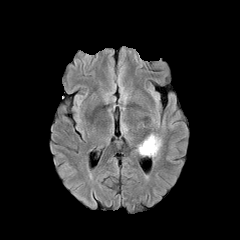
FLAIR magnetic resonance.
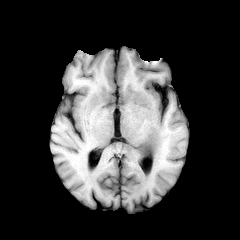
T1-weighted MR image.
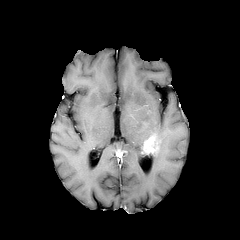
Post-contrast T1-weighted MR image.
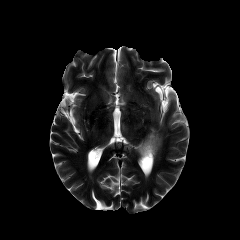
T2-weighted MRI.
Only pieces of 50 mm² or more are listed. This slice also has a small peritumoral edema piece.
The enhancing tumor is located at [141,128,161,158].